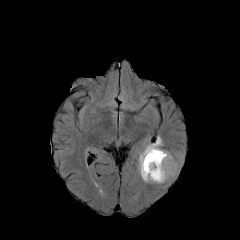
FLAIR magnetic resonance.
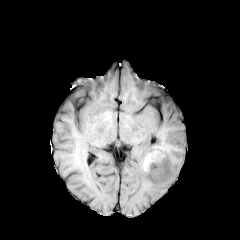
Same slice, T1-weighted magnetic resonance.
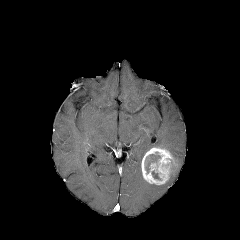
Same slice, post-contrast T1-weighted magnetic resonance.
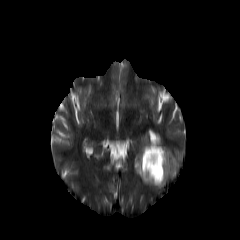
Same slice, T2-weighted magnetic resonance.
240x240
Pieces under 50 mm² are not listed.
{"enhancing_tumor": ["rect(141, 147, 177, 184)"], "peritumoral_edema": ["rect(169, 153, 183, 179)", "rect(136, 134, 163, 183)"], "necrotic_tumor_core": ["rect(145, 152, 160, 172)"]}